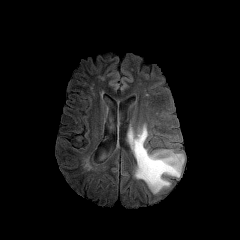
FLAIR MR image.
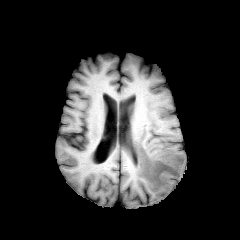
T1-weighted MRI.
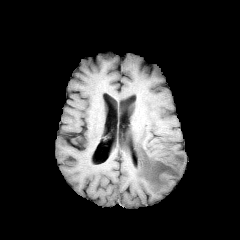
Post-contrast T1-weighted MRI of the same slice.
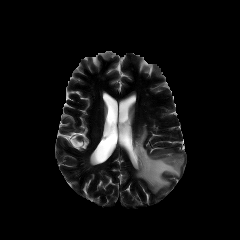
T2-weighted magnetic resonance.
Axial view.
peritumoral edema at l=129, t=125, r=184, b=193